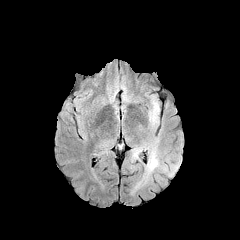
FLAIR MR.
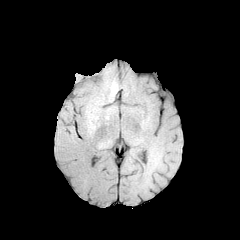
T1-weighted MRI of the same slice.
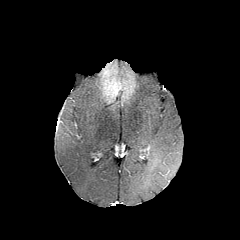
Post-contrast T1-weighted magnetic resonance of the same slice.
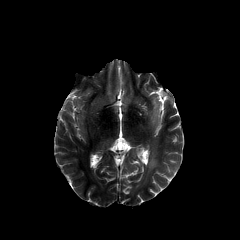
T2-weighted MR of the same slice.
Axial view | 240x240
Segmented structures:
• peritumoral edema: 124:91:182:189, 97:137:115:149